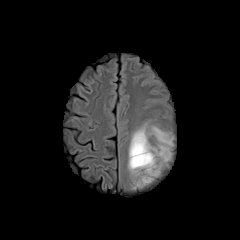
FLAIR MR image.
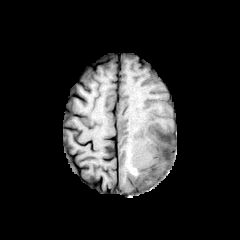
T1-weighted MRI.
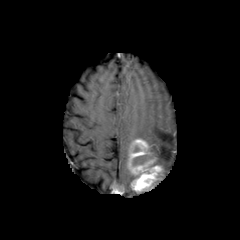
Same slice, post-contrast T1-weighted magnetic resonance.
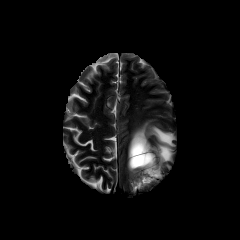
T2-weighted magnetic resonance.
Head.
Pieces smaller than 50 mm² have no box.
peritumoral edema: bounding box <bbox>127, 121, 174, 180</bbox>
necrotic tumor core: bounding box <bbox>132, 154, 153, 166</bbox>
enhancing tumor: bounding box <bbox>128, 138, 162, 191</bbox>